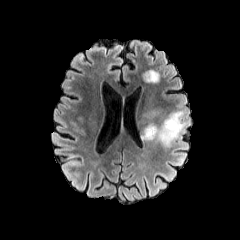
FLAIR MRI.
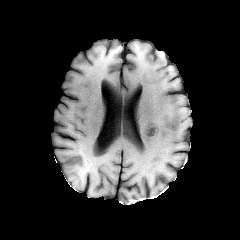
T1-weighted MRI.
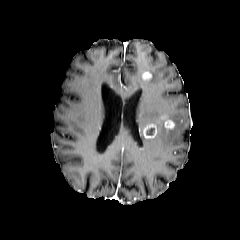
Post-contrast T1-weighted MR image of the same slice.
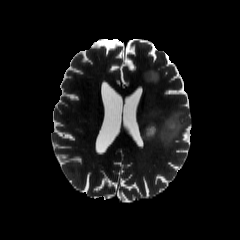
T2-weighted MR.
The necrotic tumor core appears at <box>146,127,154,135</box>. 3 enhancing tumor regions are bounded by <box>164,120,175,129</box>, <box>143,72,152,79</box>, <box>144,124,157,138</box>. 2 peritumoral edema regions appear at <box>144,70,159,82</box>, <box>140,108,188,146</box>.